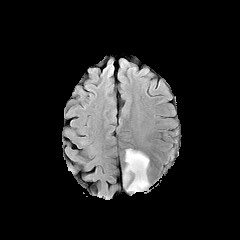
FLAIR magnetic resonance.
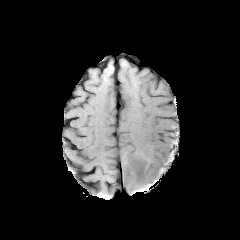
Same slice, T1-weighted magnetic resonance.
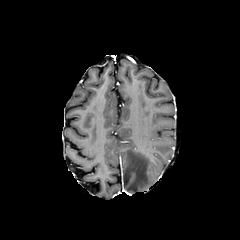
Post-contrast T1-weighted MRI.
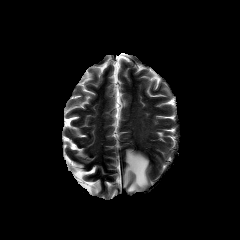
T2-weighted MRI.
240x240 px, Axial slice
The peritumoral edema lies within bbox=[123, 149, 149, 192].